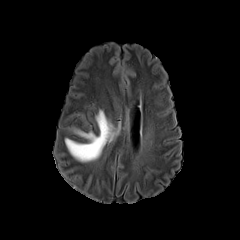
FLAIR MR image.
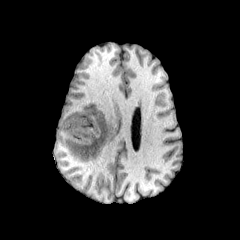
Same slice, T1-weighted MR.
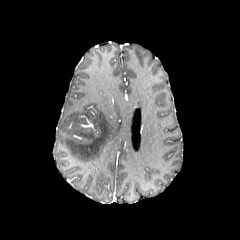
Same slice, post-contrast T1-weighted MR.
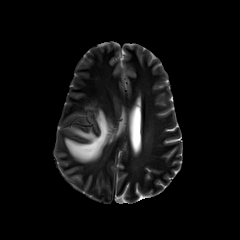
T2-weighted MR of the same slice.
Head
<segmentation>
  <peritumoral_edema>[65,110,118,161]</peritumoral_edema>
</segmentation>